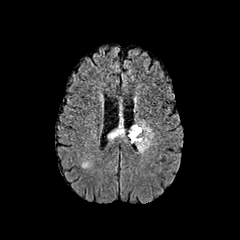
FLAIR MR image.
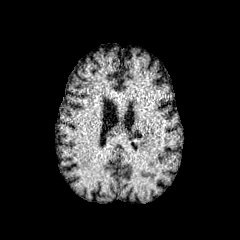
T1-weighted MR image.
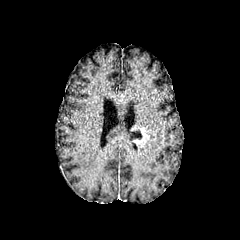
Post-contrast T1-weighted MRI of the same slice.
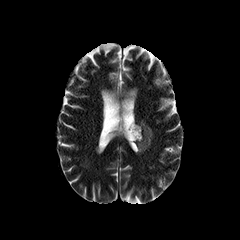
T2-weighted MRI of the same slice.
Axial slice | Image size 240x240
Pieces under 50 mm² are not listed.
Annotated regions:
- necrotic tumor core: [130,129,142,139]
- peritumoral edema: [108,120,125,140], [135,120,153,153]
- enhancing tumor: [129,125,149,147]